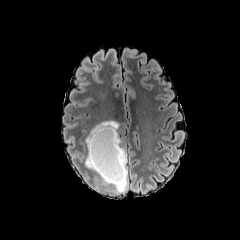
FLAIR MRI.
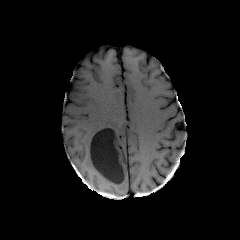
Same slice, T1-weighted MR.
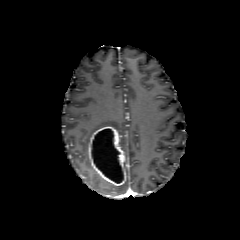
Post-contrast T1-weighted magnetic resonance.
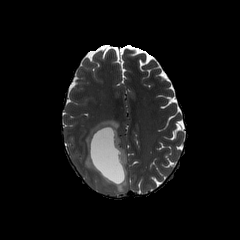
T2-weighted MR image of the same slice.
Head.
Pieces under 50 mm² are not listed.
enhancing tumor: box(88, 126, 125, 185) | peritumoral edema: box(85, 147, 127, 192); box(85, 120, 119, 149) | necrotic tumor core: box(91, 128, 123, 183)